Brain
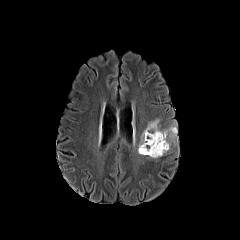
FLAIR MR.
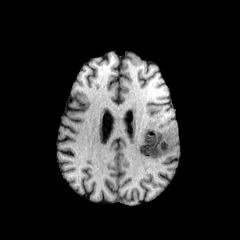
T1-weighted magnetic resonance.
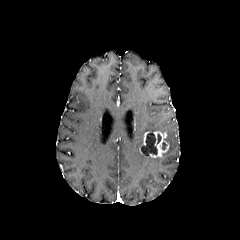
Post-contrast T1-weighted MRI.
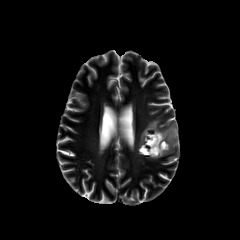
T2-weighted magnetic resonance.
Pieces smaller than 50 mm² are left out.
* necrotic tumor core: [141, 133, 157, 155]
* peritumoral edema: [138, 119, 177, 154]
* enhancing tumor: [139, 131, 169, 157]